Brain
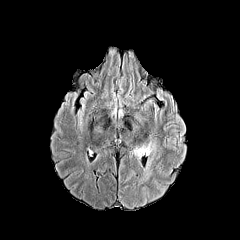
FLAIR MRI.
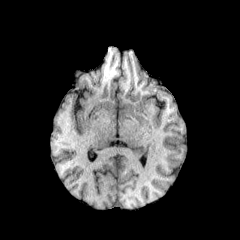
Same slice, T1-weighted MR image.
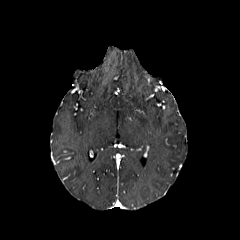
Post-contrast T1-weighted MR.
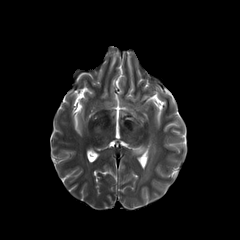
T2-weighted MR image of the same slice.
peritumoral edema — x1=148, y1=142, x2=155, y2=154; x1=132, y1=148, x2=145, y2=157